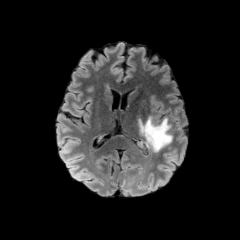
FLAIR MR image.
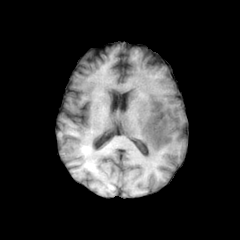
Same slice, T1-weighted MR image.
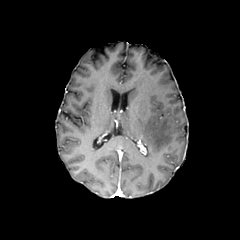
Post-contrast T1-weighted MR of the same slice.
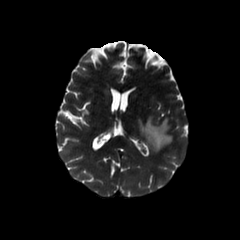
T2-weighted magnetic resonance of the same slice.
Axial view
* peritumoral edema: 139, 116, 172, 151